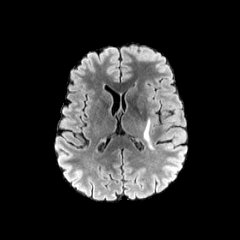
FLAIR MRI.
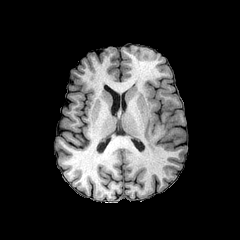
T1-weighted MR image.
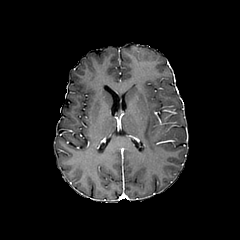
Post-contrast T1-weighted MR.
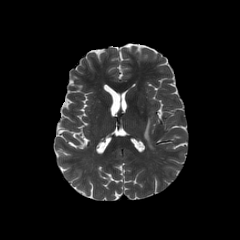
T2-weighted MRI.
Axial plane, 240x240
Annotated regions:
• peritumoral edema: [x1=143, y1=119, x2=153, y2=149]